Image width 240 mm, 1.00 mm slice spacing; 240x240; Brain; Axial plane
FLAIR MR.
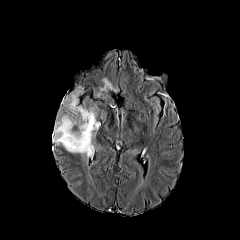
T1-weighted magnetic resonance.
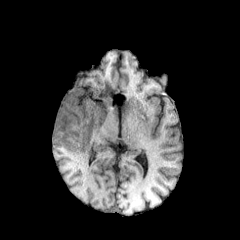
Post-contrast T1-weighted magnetic resonance.
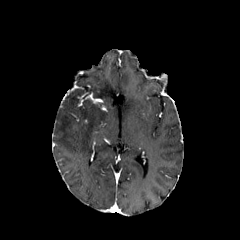
T2-weighted magnetic resonance.
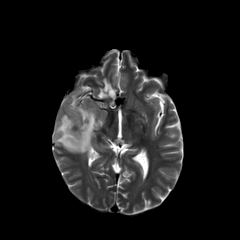
Annotated regions:
* peritumoral edema: x1=96, y1=76, x2=119, y2=97; x1=53, y1=89, x2=99, y2=157